240x240; Brain; Slice index 60
FLAIR MR image.
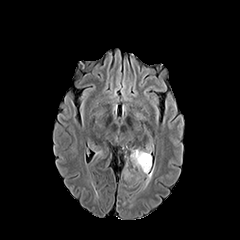
T1-weighted MR.
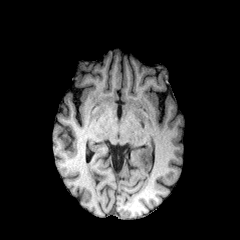
Post-contrast T1-weighted magnetic resonance.
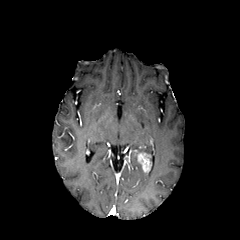
T2-weighted MR.
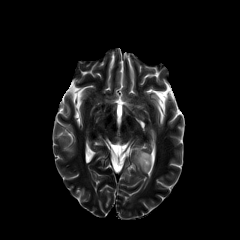
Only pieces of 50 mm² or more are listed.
enhancing_tumor:
  - <box>134,150,151,172</box>
peritumoral_edema:
  - <box>131,150,153,187</box>